Slice index 96; Brain; 240x240 px
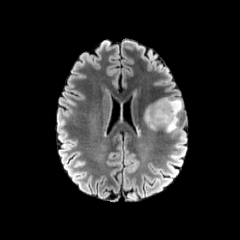
FLAIR magnetic resonance.
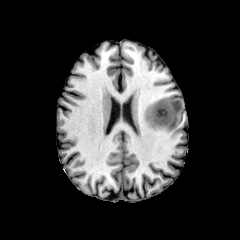
T1-weighted MR image.
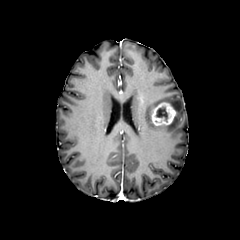
Post-contrast T1-weighted MR image.
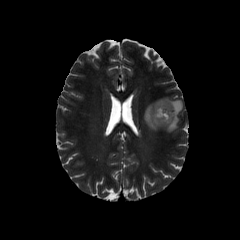
T2-weighted MR.
Findings:
- peritumoral edema: <bbox>144, 98, 182, 132</bbox>
- necrotic tumor core: <bbox>156, 107, 167, 121</bbox>
- enhancing tumor: <bbox>151, 102, 176, 125</bbox>